FLAIR magnetic resonance.
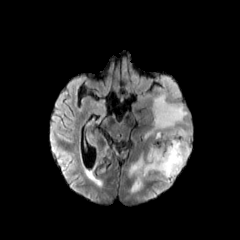
T1-weighted MR image.
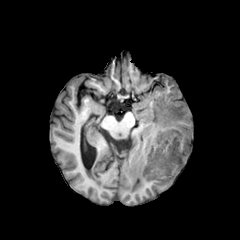
Post-contrast T1-weighted MRI.
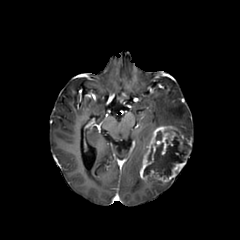
T2-weighted magnetic resonance.
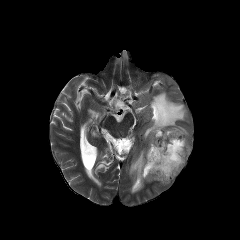
Image size 240x240; Axial plane
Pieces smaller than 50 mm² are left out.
The largest enhancing tumor region is bounded by 139 125 190 184. The 2 largest necrotic tumor core regions are located at 143 130 185 177, 147 145 152 161. 3 peritumoral edema regions are bounded by 157 179 173 192, 144 94 191 151, 126 150 145 193.